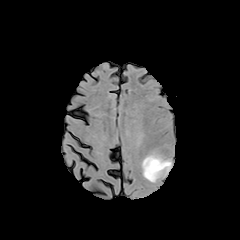
FLAIR MR.
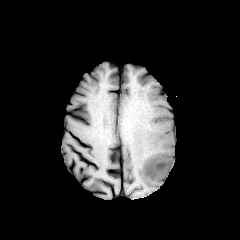
T1-weighted MR image.
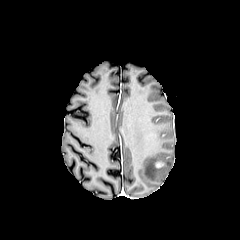
Post-contrast T1-weighted MR.
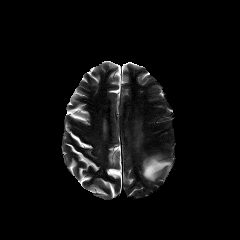
Same slice, T2-weighted MR image.
peritumoral edema: bounding box region(142, 155, 171, 181)
enhancing tumor: bounding box region(155, 162, 165, 168)